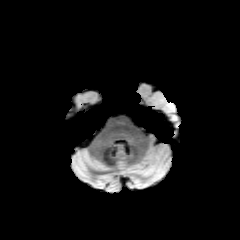
FLAIR MR image.
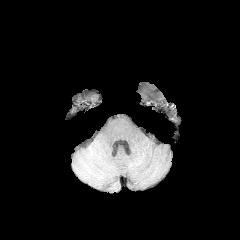
Same slice, T1-weighted magnetic resonance.
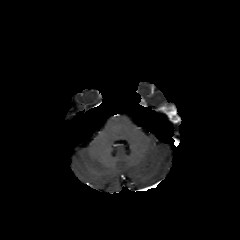
Post-contrast T1-weighted magnetic resonance.
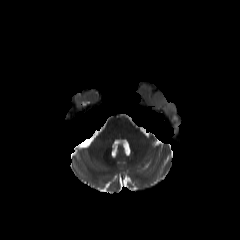
Same slice, T2-weighted MR.
Head; Axial plane; 240x240
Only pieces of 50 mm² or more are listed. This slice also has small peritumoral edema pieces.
The enhancing tumor appears at 163:106:178:122.